Image size 240x240
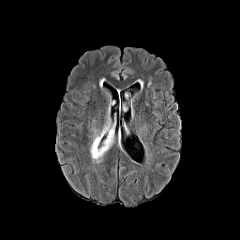
FLAIR MRI.
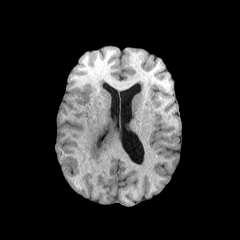
T1-weighted magnetic resonance of the same slice.
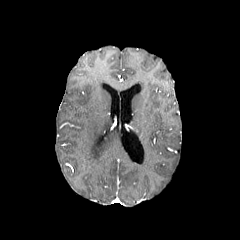
Same slice, post-contrast T1-weighted magnetic resonance.
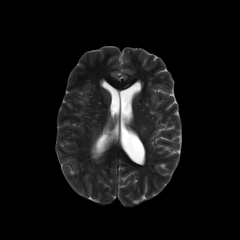
T2-weighted magnetic resonance of the same slice.
The peritumoral edema is located at [90, 123, 113, 160].